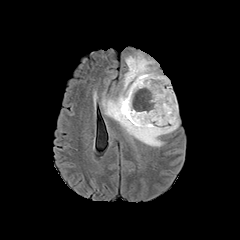
FLAIR MR image.
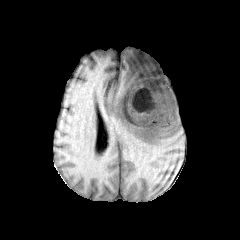
T1-weighted MR image.
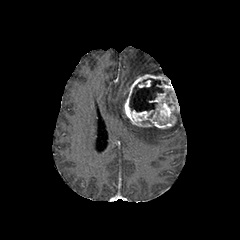
Post-contrast T1-weighted MRI of the same slice.
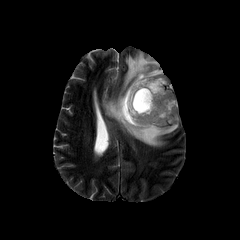
T2-weighted MR of the same slice.
Head. Image size 240x240. Axial plane.
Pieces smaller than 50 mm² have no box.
necrotic tumor core: region(129, 78, 163, 111)
peritumoral edema: region(102, 52, 179, 146)
enhancing tumor: region(123, 74, 179, 128)